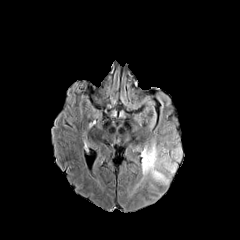
FLAIR MR.
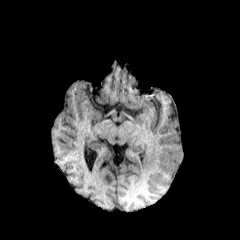
T1-weighted MR.
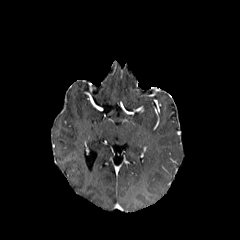
Post-contrast T1-weighted magnetic resonance.
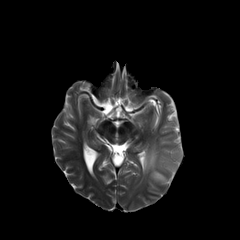
Same slice, T2-weighted MR.
Axial view
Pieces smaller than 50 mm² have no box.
The 2 largest peritumoral edema regions are bounded by rect(172, 146, 181, 161); rect(141, 141, 176, 184).